FLAIR MRI.
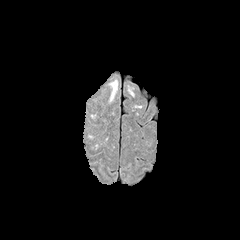
T1-weighted MR image.
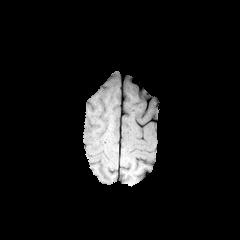
Post-contrast T1-weighted MR image.
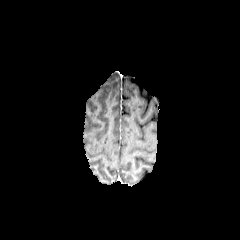
T2-weighted MRI.
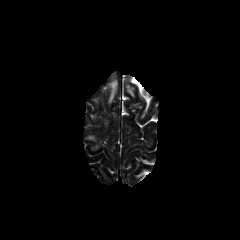
Axial view
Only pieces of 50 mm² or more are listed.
* peritumoral edema: <bbox>108, 79, 117, 102</bbox>